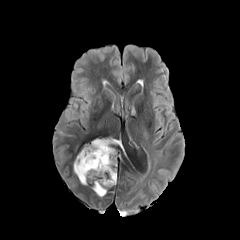
FLAIR MRI.
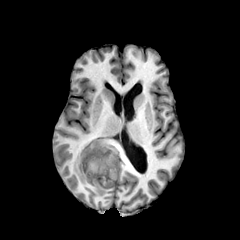
Same slice, T1-weighted MRI.
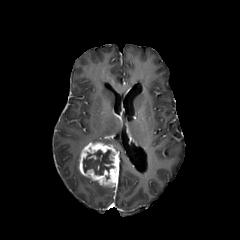
Post-contrast T1-weighted magnetic resonance.
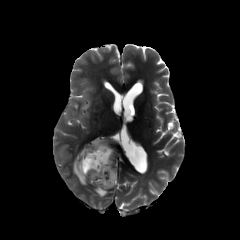
T2-weighted MR.
Head
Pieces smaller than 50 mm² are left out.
enhancing tumor: (79, 142, 118, 187)
necrotic tumor core: (83, 150, 113, 174)
peritumoral edema: (92, 139, 120, 144), (73, 154, 86, 184), (93, 181, 107, 196)